FLAIR MR image.
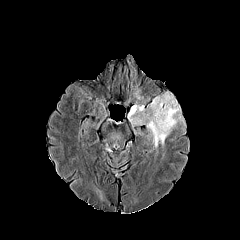
T1-weighted MR.
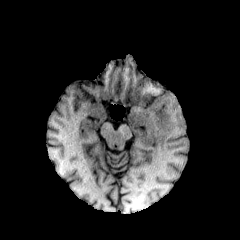
Post-contrast T1-weighted magnetic resonance.
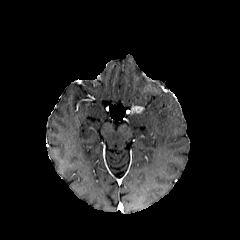
T2-weighted magnetic resonance.
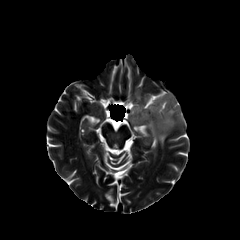
Brain.
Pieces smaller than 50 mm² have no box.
peritumoral edema = bbox(130, 94, 181, 146)
enhancing tumor = bbox(131, 106, 143, 112)